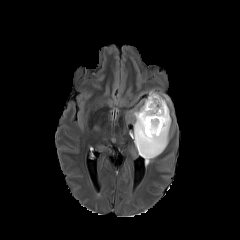
FLAIR MR.
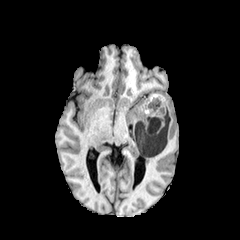
Same slice, T1-weighted magnetic resonance.
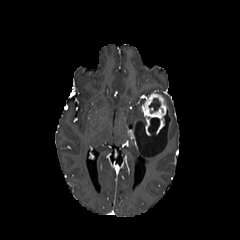
Same slice, post-contrast T1-weighted MR image.
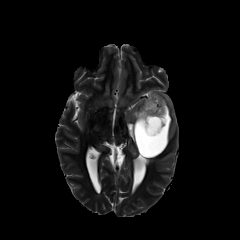
T2-weighted MR.
Axial view
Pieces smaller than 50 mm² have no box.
{
  "peritumoral_edema": [
    "[129,93,172,165]"
  ],
  "enhancing_tumor": [
    "[141,92,167,135]"
  ],
  "necrotic_tumor_core": [
    "[149,98,160,112]",
    "[148,117,159,135]"
  ]
}